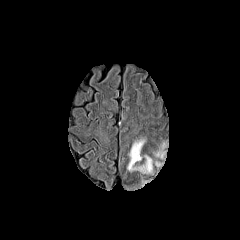
FLAIR MRI.
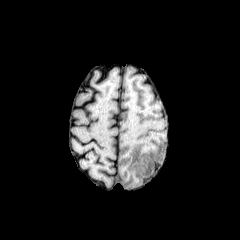
Same slice, T1-weighted MR image.
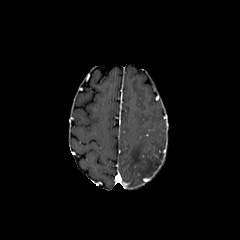
Same slice, post-contrast T1-weighted MR image.
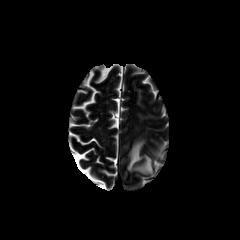
T2-weighted MRI of the same slice.
240x240
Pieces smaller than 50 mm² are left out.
The largest peritumoral edema region is located at (x1=127, y1=139, x2=152, y2=172).